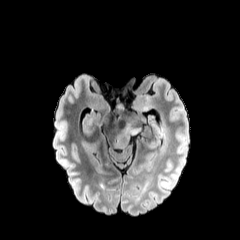
FLAIR MR image.
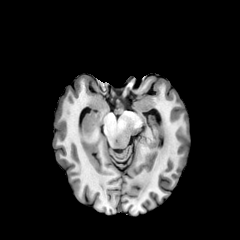
T1-weighted MR image of the same slice.
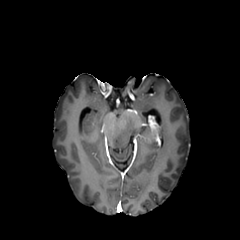
Post-contrast T1-weighted magnetic resonance of the same slice.
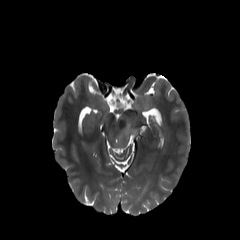
T2-weighted MRI.
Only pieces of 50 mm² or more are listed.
peritumoral_edema:
  - x1=116, y1=123, x2=138, y2=147